FLAIR magnetic resonance.
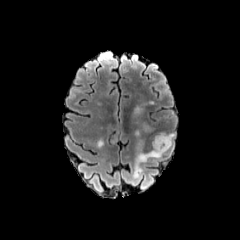
T1-weighted MRI.
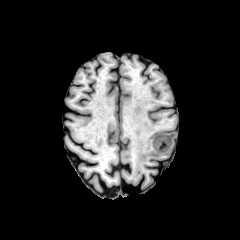
Post-contrast T1-weighted MRI.
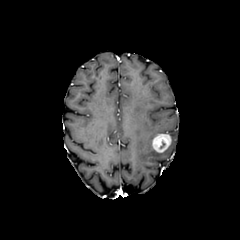
T2-weighted magnetic resonance.
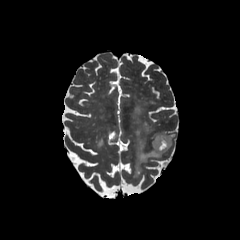
Head
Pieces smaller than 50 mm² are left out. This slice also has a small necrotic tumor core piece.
• peritumoral edema: 134,133,175,176; 143,122,156,133
• enhancing tumor: 152,133,171,152